FLAIR MR image.
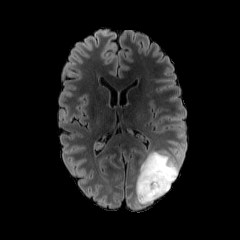
T1-weighted MR image.
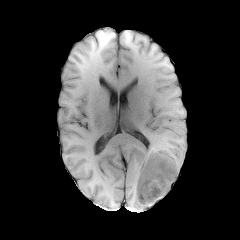
Post-contrast T1-weighted MR.
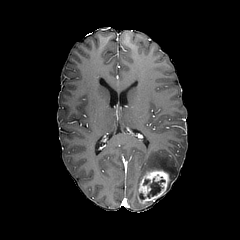
T2-weighted MR.
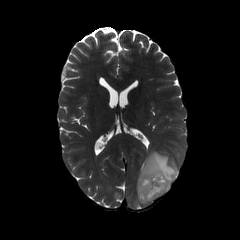
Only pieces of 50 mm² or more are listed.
{
  "peritumoral_edema": [
    "x1=135 y1=151 x2=179 y2=206"
  ],
  "necrotic_tumor_core": [
    "x1=147 y1=178 x2=165 y2=197"
  ],
  "enhancing_tumor": [
    "x1=138 y1=170 x2=169 y2=203"
  ]
}